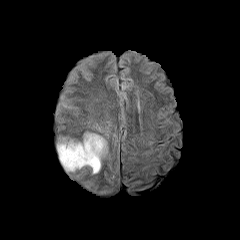
FLAIR magnetic resonance.
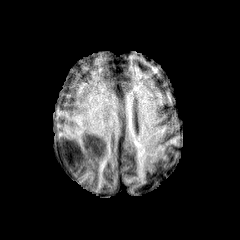
T1-weighted MR image.
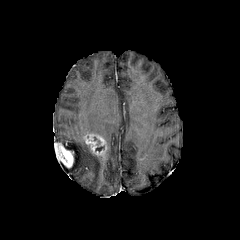
Post-contrast T1-weighted MRI.
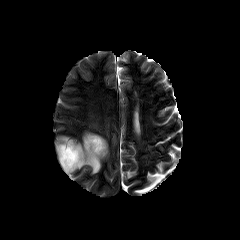
T2-weighted MR.
Axial view. Brain.
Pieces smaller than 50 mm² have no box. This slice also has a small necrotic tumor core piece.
The peritumoral edema is at l=59, t=138, r=101, b=173. 2 enhancing tumor regions are bounded by l=55, t=142, r=74, b=168; l=83, t=133, r=107, b=158.